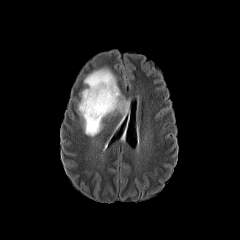
FLAIR MR image.
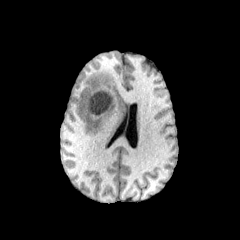
T1-weighted MR.
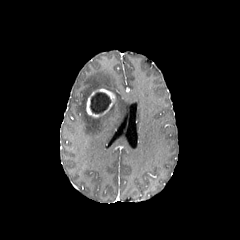
Post-contrast T1-weighted magnetic resonance.
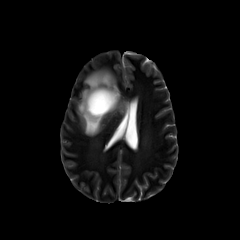
T2-weighted MR of the same slice.
240x240 px
peritumoral edema at l=76, t=65, r=128, b=136
enhancing tumor at l=86, t=88, r=115, b=117
necrotic tumor core at l=90, t=92, r=111, b=113